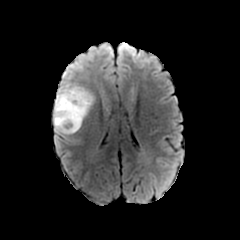
FLAIR MR.
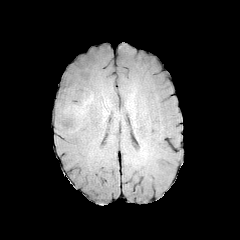
T1-weighted magnetic resonance.
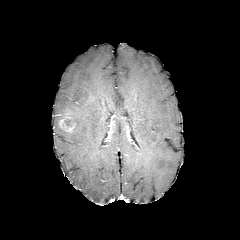
Post-contrast T1-weighted magnetic resonance.
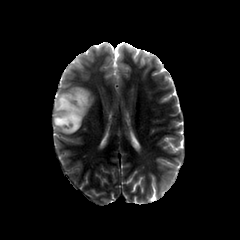
T2-weighted MRI.
Axial slice.
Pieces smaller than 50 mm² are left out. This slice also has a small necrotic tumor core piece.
The largest enhancing tumor region is bounded by x1=58 y1=111 x2=75 y2=132. The peritumoral edema appears at x1=53 y1=81 x2=95 y2=136.